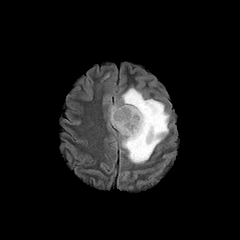
FLAIR magnetic resonance.
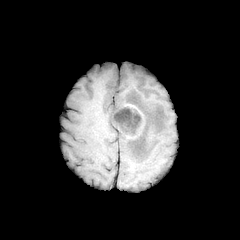
T1-weighted MRI.
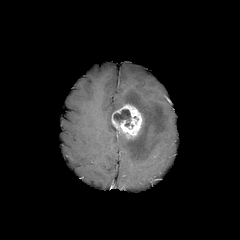
Post-contrast T1-weighted MRI.
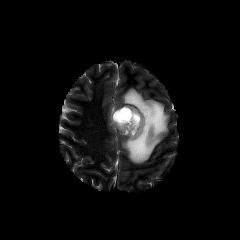
Same slice, T2-weighted MRI.
Axial view; 240x240 px
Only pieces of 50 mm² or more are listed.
• necrotic tumor core: box=[114, 109, 130, 122]
• peritumoral edema: box=[109, 87, 169, 163]
• enhancing tumor: box=[111, 104, 142, 138]